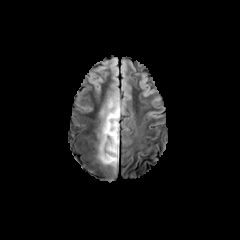
FLAIR MR image.
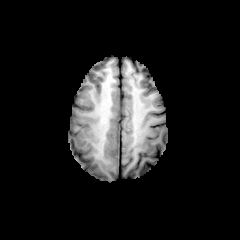
T1-weighted MR image.
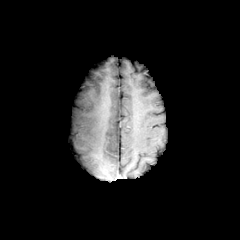
Post-contrast T1-weighted MR.
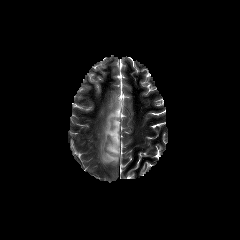
Same slice, T2-weighted MRI.
Brain | Image size 240x240
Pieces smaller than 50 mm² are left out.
* peritumoral edema: (x1=99, y1=104, x2=120, y2=166)